Head. Axial view.
FLAIR MR image.
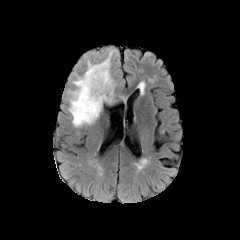
T1-weighted magnetic resonance.
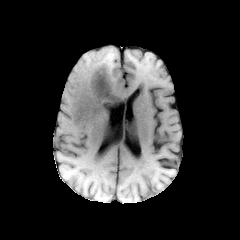
Post-contrast T1-weighted MR image.
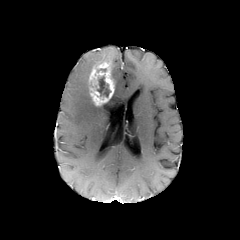
T2-weighted magnetic resonance.
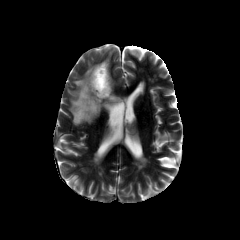
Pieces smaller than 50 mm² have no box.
The enhancing tumor is located at x1=89 y1=61 x2=114 y2=106. The largest necrotic tumor core region appears at x1=97 y1=76 x2=110 y2=96. The largest peritumoral edema region is located at x1=68 y1=51 x2=113 y2=126.